FLAIR magnetic resonance.
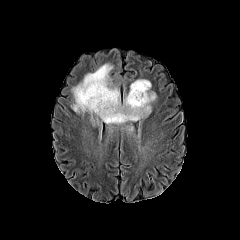
T1-weighted magnetic resonance.
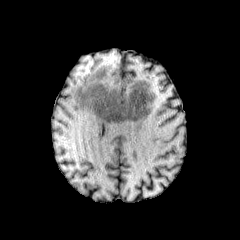
Post-contrast T1-weighted MRI.
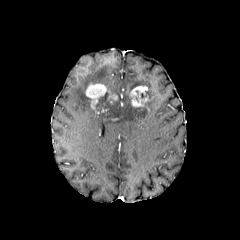
T2-weighted MR.
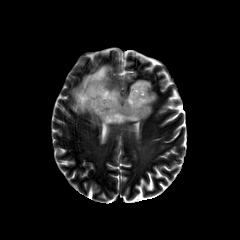
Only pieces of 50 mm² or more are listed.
Segmented structures:
• peritumoral edema: (126,125,133,133), (72,64,156,125)
• necrotic tumor core: (106,105,132,120), (95,87,115,112)
• enhancing tumor: (85,83,106,113), (130,85,149,107), (108,90,117,100)